Brain. Image size 240x240. Slice 100/155.
FLAIR MR image.
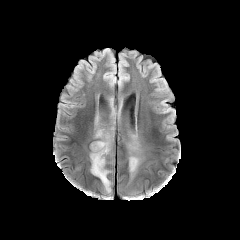
T1-weighted magnetic resonance.
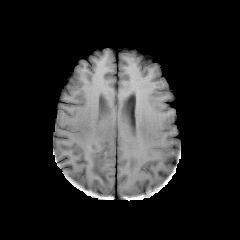
Post-contrast T1-weighted MR.
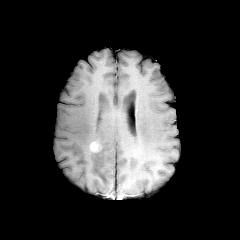
T2-weighted MRI.
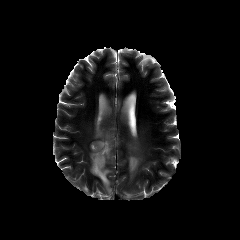
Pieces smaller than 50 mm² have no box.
enhancing tumor: bounding box (x1=90, y1=142, x2=100, y2=151)
peritumoral edema: bounding box (x1=90, y1=126, x2=113, y2=192), (x1=129, y1=155, x2=140, y2=177)